Image size 240x240; Axial slice; Head; Slice 95/155
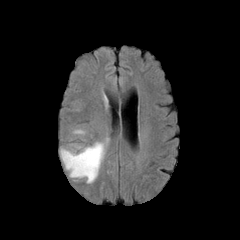
FLAIR MR.
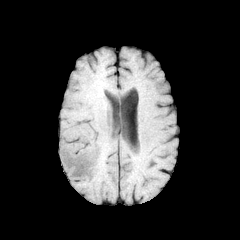
T1-weighted magnetic resonance.
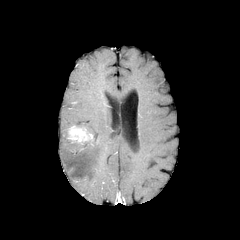
Post-contrast T1-weighted MR.
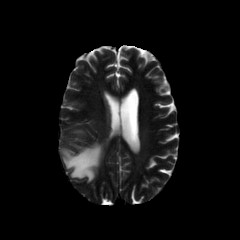
T2-weighted MR.
peritumoral_edema:
  - l=60, t=138, r=108, b=183
enhancing_tumor:
  - l=70, t=127, r=87, b=141